FLAIR MR image.
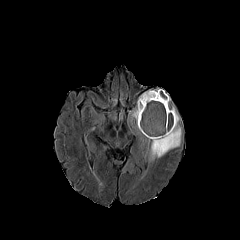
T1-weighted MR image.
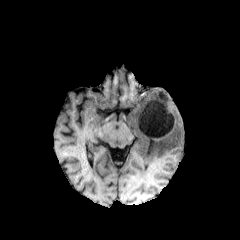
Post-contrast T1-weighted MRI.
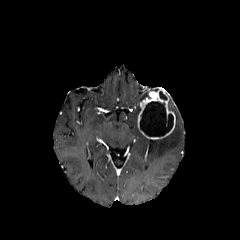
T2-weighted MR image.
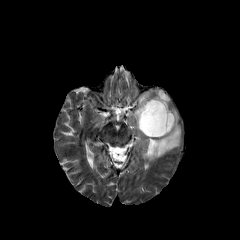
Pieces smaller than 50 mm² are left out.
necrotic tumor core: bbox=[140, 101, 173, 136]
peritumoral edema: bbox=[128, 92, 150, 124]; bbox=[144, 105, 181, 160]
enhancing tumor: bbox=[137, 88, 175, 139]